FLAIR MR image.
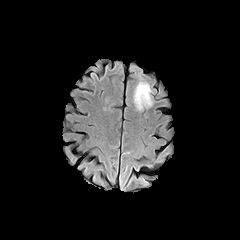
T1-weighted MRI.
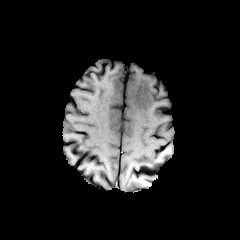
Post-contrast T1-weighted MRI.
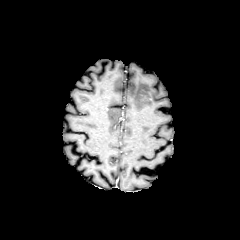
T2-weighted MRI.
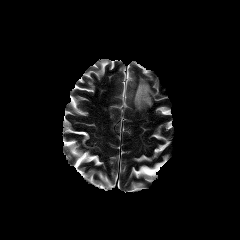
Brain | Axial view | 240x240
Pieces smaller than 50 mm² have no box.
<segmentation>
  <peritumoral_edema>133,76,153,110</peritumoral_edema>
</segmentation>